FLAIR magnetic resonance.
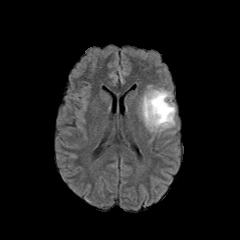
T1-weighted MRI.
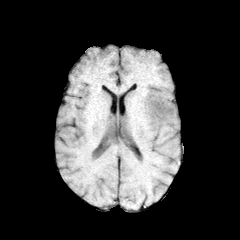
Post-contrast T1-weighted magnetic resonance.
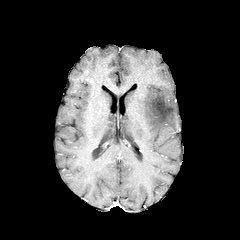
T2-weighted MR image.
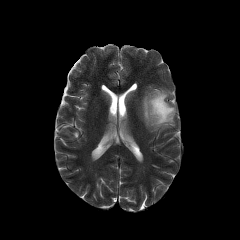
240x240 px; Axial slice; Brain
The peritumoral edema appears at (141,89,175,131).